Slice 99 of 155.
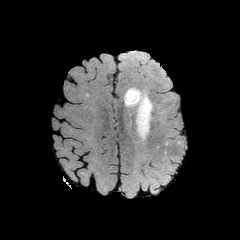
FLAIR MR image.
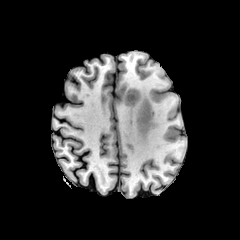
T1-weighted magnetic resonance.
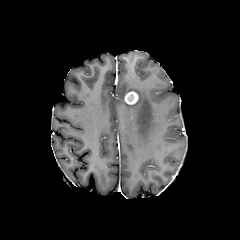
Same slice, post-contrast T1-weighted magnetic resonance.
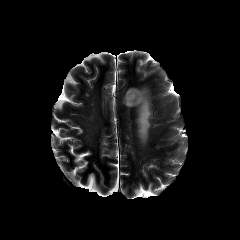
T2-weighted MRI.
{
  "peritumoral_edema": [
    "<box>124,87,152,141</box>"
  ],
  "enhancing_tumor": [
    "<box>124,91,138,104</box>"
  ]
}